240x240, Slice 69/155, Head
FLAIR MR.
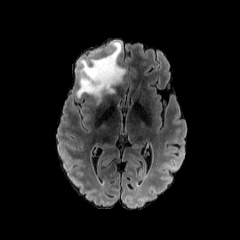
T1-weighted MR image.
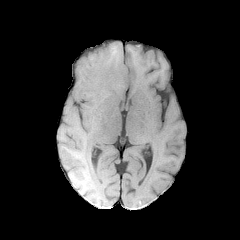
Post-contrast T1-weighted MR image.
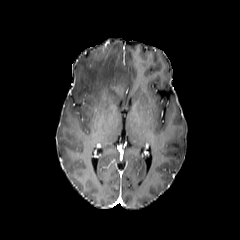
T2-weighted magnetic resonance.
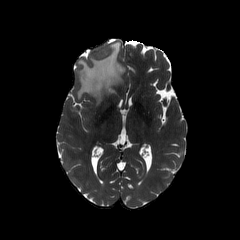
peritumoral edema: {"x1": 76, "y1": 42, "x2": 125, "y2": 103}